Image size 240x240; Axial slice
FLAIR MRI.
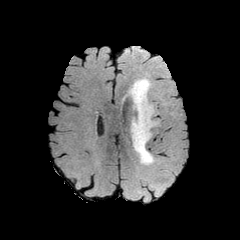
T1-weighted MR.
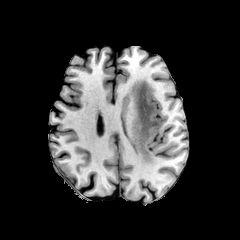
Post-contrast T1-weighted MR.
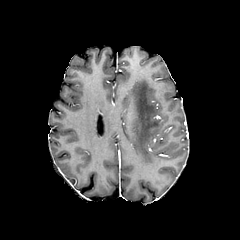
T2-weighted MR image.
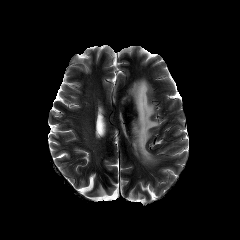
<segmentation>
  <peritumoral_edema>129, 78, 157, 165</peritumoral_edema>
</segmentation>